Head, Slice 41/155
FLAIR MRI.
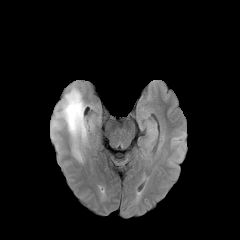
T1-weighted MR.
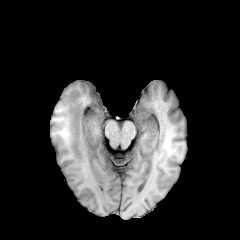
Post-contrast T1-weighted MRI.
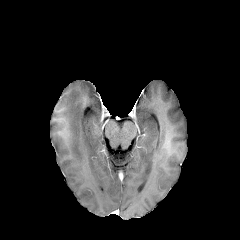
T2-weighted MRI.
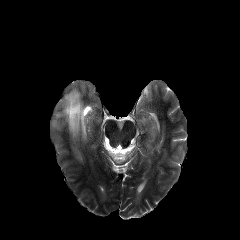
peritumoral_edema:
  - 61:87:87:161